FLAIR MRI.
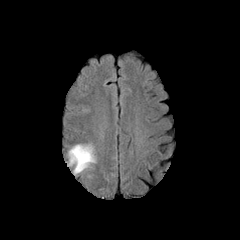
T1-weighted MRI.
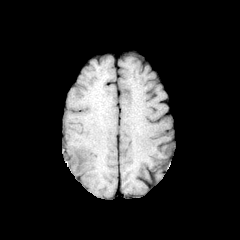
Post-contrast T1-weighted MR.
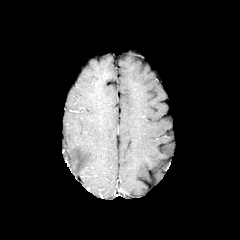
T2-weighted MR.
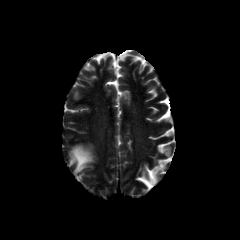
Head
The peritumoral edema lies within x1=68, y1=144, x2=95, y2=174.